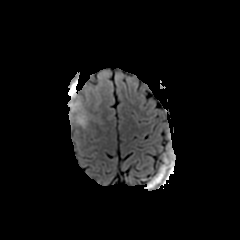
FLAIR MR.
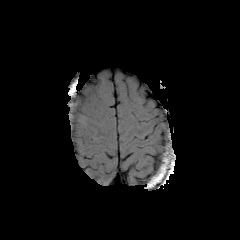
T1-weighted MR.
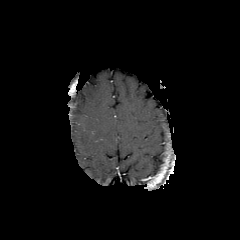
Post-contrast T1-weighted MR image of the same slice.
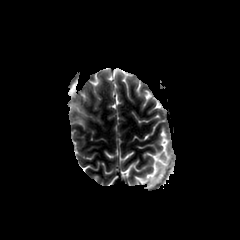
T2-weighted magnetic resonance.
Axial slice
peritumoral_edema:
  - (left=70, top=94, right=91, bottom=128)